Slice 77/155. 240x240. Axial slice. Image covers 240 mm x 240 mm.
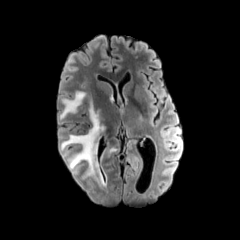
FLAIR MR image.
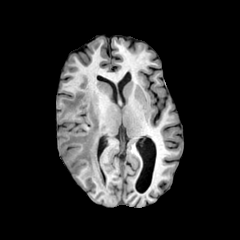
T1-weighted magnetic resonance.
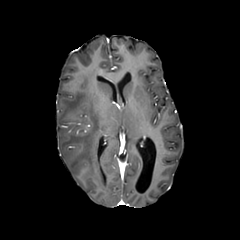
Post-contrast T1-weighted MR of the same slice.
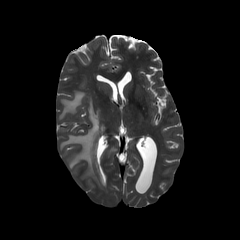
T2-weighted MRI.
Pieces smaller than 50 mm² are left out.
The 2 largest peritumoral edema regions appear at (left=60, top=100, right=105, bottom=175), (left=59, top=91, right=87, bottom=119).